FLAIR MR image.
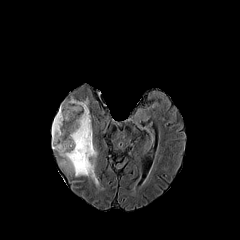
T1-weighted MR.
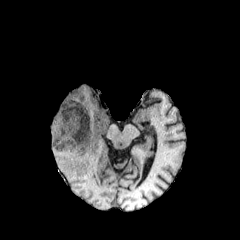
Post-contrast T1-weighted MR image.
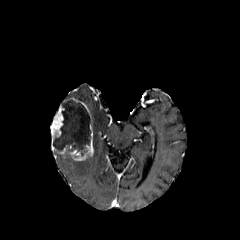
T2-weighted MR image.
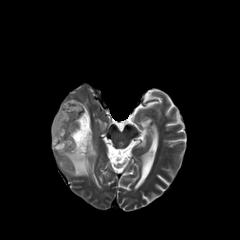
240x240 px. Axial view. Brain.
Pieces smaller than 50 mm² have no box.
peritumoral edema = [x1=59, y1=145, x2=98, y2=184]
enhancing tumor = [x1=70, y1=97, x2=89, y2=114], [x1=55, y1=145, x2=71, y2=154], [x1=67, y1=124, x2=93, y2=160], [x1=50, y1=104, x2=64, y2=145]
necrotic tumor core = [x1=53, y1=98, x2=92, y2=155]